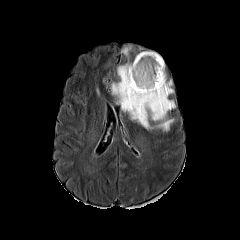
FLAIR MRI.
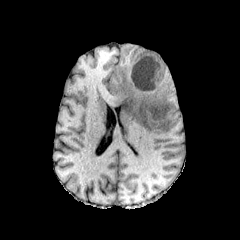
Same slice, T1-weighted magnetic resonance.
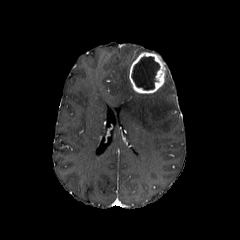
Post-contrast T1-weighted MRI.
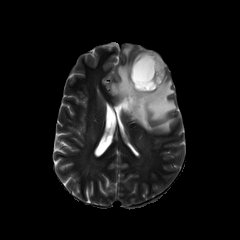
T2-weighted magnetic resonance.
Axial slice, Brain, Image size 240x240
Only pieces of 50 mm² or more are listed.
necrotic_tumor_core:
  - (x1=131, y1=56, x2=159, y2=90)
peritumoral_edema:
  - (x1=110, y1=61, x2=176, y2=132)
  - (x1=122, y1=45, x2=131, y2=58)
enhancing_tumor:
  - (x1=129, y1=52, x2=166, y2=93)